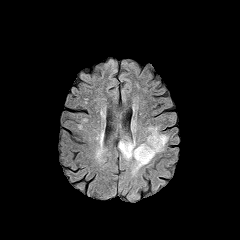
FLAIR MRI.
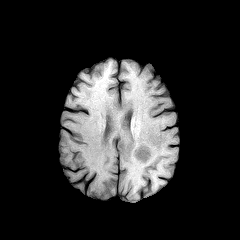
T1-weighted MRI.
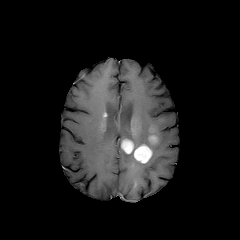
Post-contrast T1-weighted MR image.
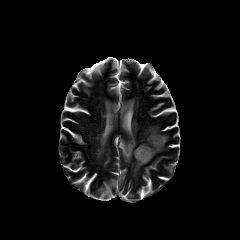
T2-weighted MRI.
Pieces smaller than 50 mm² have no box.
Findings:
- enhancing tumor: [x1=134, y1=144, x2=152, y2=163], [x1=148, y1=135, x2=158, y2=144], [x1=121, y1=139, x2=134, y2=153]
- peritumoral edema: [x1=131, y1=126, x2=168, y2=175], [x1=118, y1=135, x2=139, y2=161]